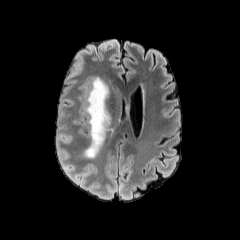
FLAIR magnetic resonance.
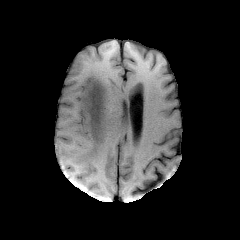
Same slice, T1-weighted MRI.
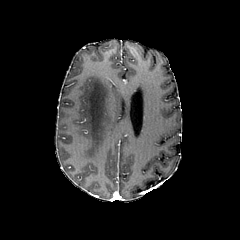
Same slice, post-contrast T1-weighted MRI.
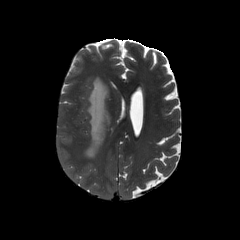
T2-weighted MR image.
Brain. Image size 240x240. Axial plane.
Findings:
* peritumoral edema: (83,77,110,158)